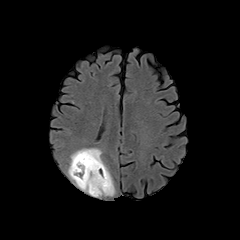
FLAIR MR image.
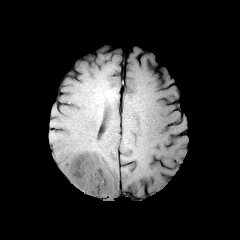
T1-weighted MRI of the same slice.
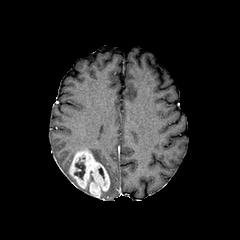
Post-contrast T1-weighted MRI.
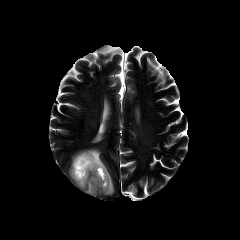
T2-weighted MR of the same slice.
Brain; Image size 240x240
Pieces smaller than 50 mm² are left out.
peritumoral edema at box(68, 169, 89, 193); box(70, 148, 115, 196)
necrotic tumor core at box(74, 159, 85, 179)
enhancing tumor at box(69, 150, 110, 197)